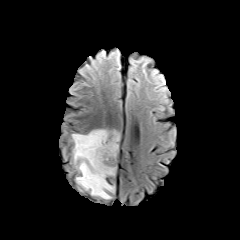
FLAIR MR image.
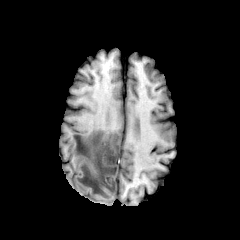
T1-weighted MR image of the same slice.
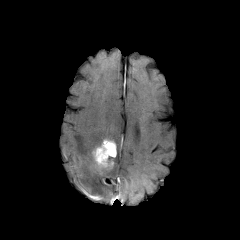
Same slice, post-contrast T1-weighted MRI.
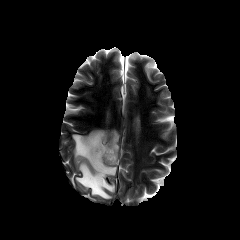
T2-weighted magnetic resonance.
Brain.
enhancing_tumor:
  - bbox(92, 139, 116, 175)
peritumoral_edema:
  - bbox(72, 129, 119, 199)